FLAIR MR.
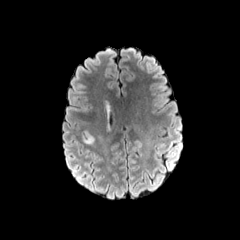
T1-weighted MR.
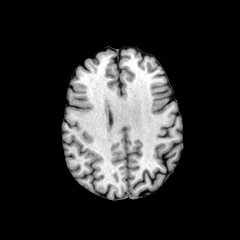
Post-contrast T1-weighted MR image.
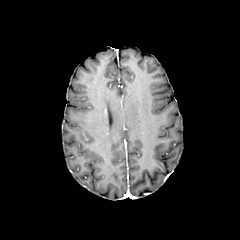
T2-weighted MRI.
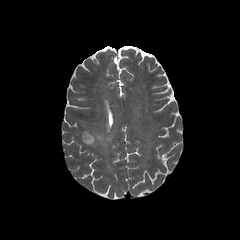
Axial view; Brain
<segmentation>
  <peritumoral_edema>l=82, t=132, r=94, b=144</peritumoral_edema>
</segmentation>